FLAIR MR image.
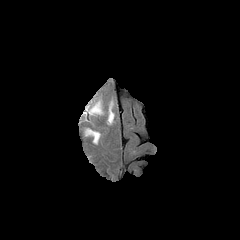
T1-weighted MR.
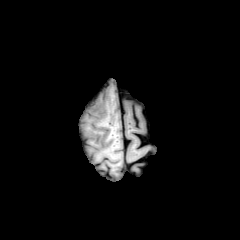
Post-contrast T1-weighted magnetic resonance.
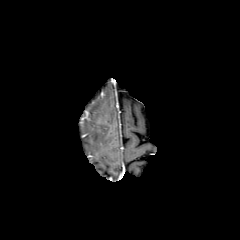
T2-weighted magnetic resonance.
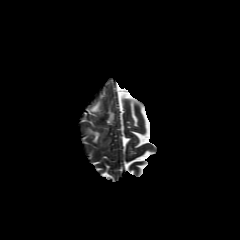
Brain, 240x240
Segmented structures:
• peritumoral edema: left=108, top=102, right=114, bottom=123; left=87, top=101, right=102, bottom=114; left=86, top=129, right=100, bottom=143